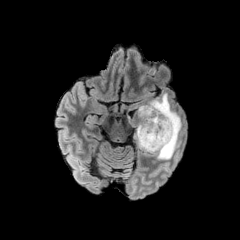
FLAIR MR.
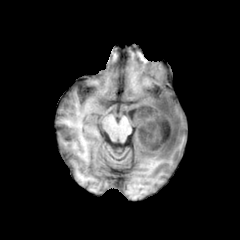
T1-weighted magnetic resonance of the same slice.
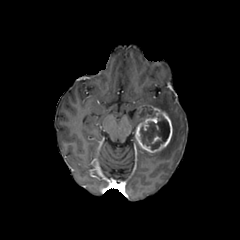
Post-contrast T1-weighted MR image.
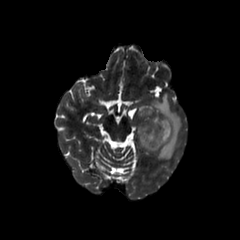
T2-weighted MR.
Axial plane. 240x240.
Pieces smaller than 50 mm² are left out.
The largest enhancing tumor region is bounded by [135,105,172,153]. The largest necrotic tumor core region lies within [140,115,169,149]. The largest peritumoral edema region is bounded by [145,93,182,159].